FLAIR magnetic resonance.
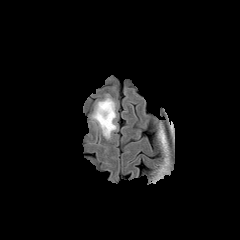
T1-weighted MR image.
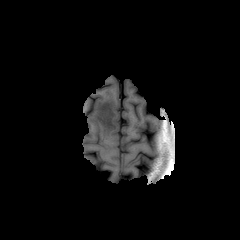
Post-contrast T1-weighted MRI.
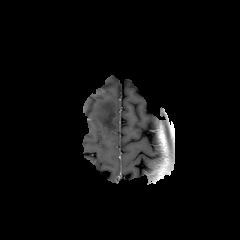
T2-weighted MR.
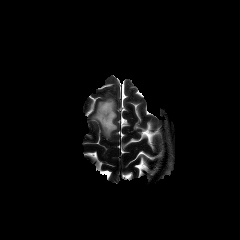
Axial slice, Brain
peritumoral edema = 91:94:117:139